Head. Slice index 90.
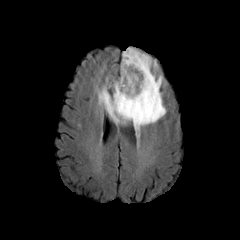
FLAIR MR.
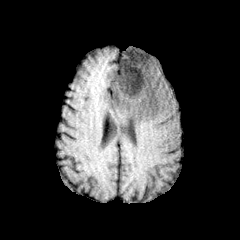
T1-weighted MRI.
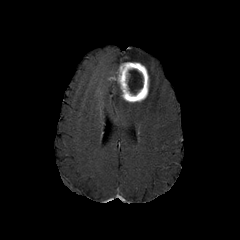
Post-contrast T1-weighted MRI of the same slice.
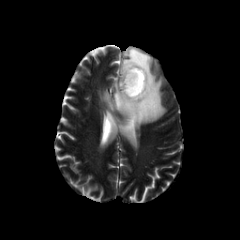
Same slice, T2-weighted MR.
The peritumoral edema lies within box(98, 48, 166, 131). The necrotic tumor core is at box(128, 69, 142, 94). The enhancing tumor appears at box(112, 62, 149, 102).